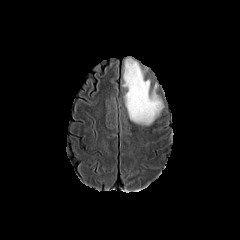
FLAIR MR image.
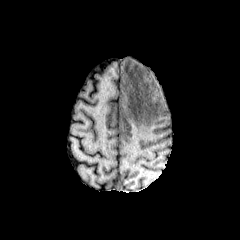
T1-weighted MR image of the same slice.
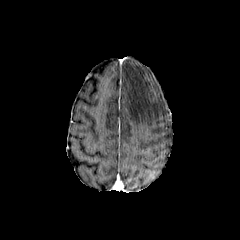
Same slice, post-contrast T1-weighted MR image.
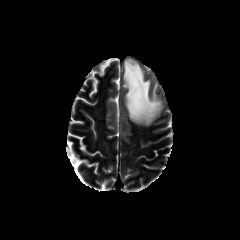
T2-weighted magnetic resonance of the same slice.
peritumoral_edema:
  - <bbox>123, 58, 163, 125</bbox>